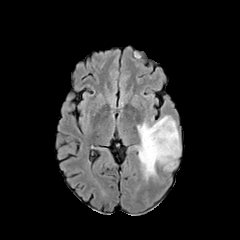
FLAIR MR image.
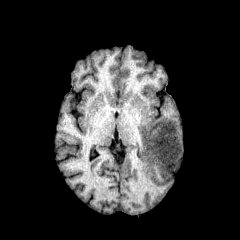
T1-weighted MR image.
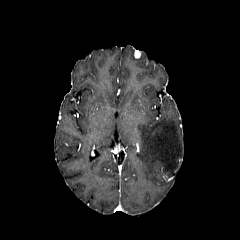
Same slice, post-contrast T1-weighted MRI.
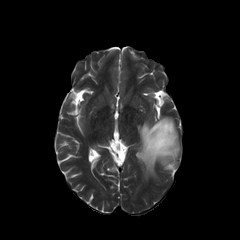
T2-weighted magnetic resonance of the same slice.
Image size 240x240
peritumoral edema = [x1=137, y1=116, x2=180, y2=179]